FLAIR MRI.
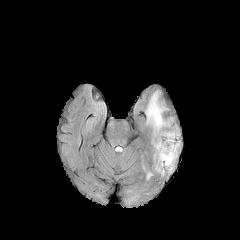
T1-weighted MR image.
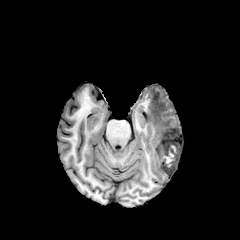
Post-contrast T1-weighted magnetic resonance.
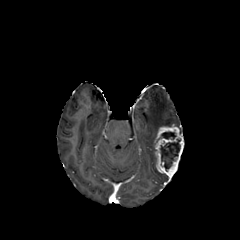
T2-weighted magnetic resonance.
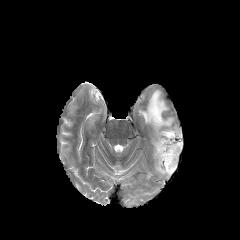
Axial plane.
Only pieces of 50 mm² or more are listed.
The enhancing tumor is at 154:125:183:176. 2 necrotic tumor core regions are located at 160:139:180:170, 161:132:176:139. The largest peritumoral edema region lies within 146:91:172:138.